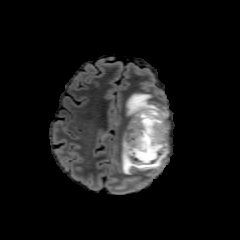
FLAIR magnetic resonance.
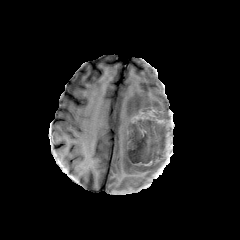
T1-weighted MR image.
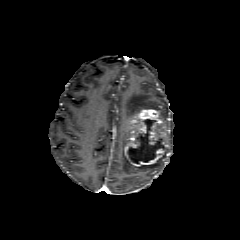
Post-contrast T1-weighted MRI of the same slice.
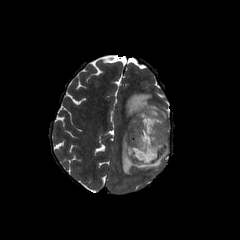
T2-weighted MR image.
Image size 240x240.
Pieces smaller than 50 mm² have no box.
enhancing tumor at bbox(123, 108, 169, 167)
necrotic tumor core at bbox(127, 119, 162, 163)
peritumoral edema at bbox(121, 141, 164, 174); bbox(126, 93, 167, 118)